Head
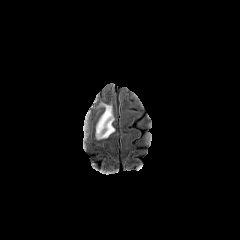
FLAIR magnetic resonance.
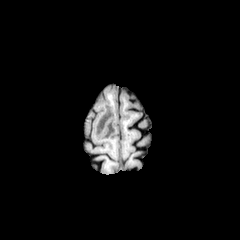
T1-weighted MR.
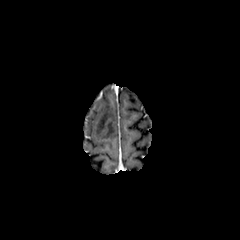
Post-contrast T1-weighted MRI of the same slice.
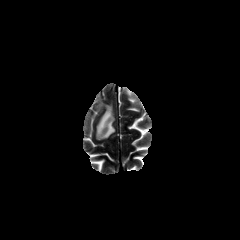
T2-weighted magnetic resonance.
The peritumoral edema is located at 96, 103, 114, 139.